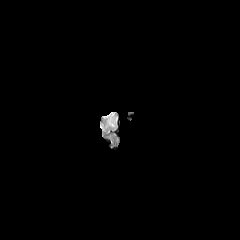
FLAIR MR image.
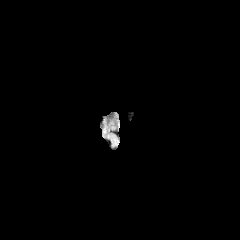
T1-weighted MRI.
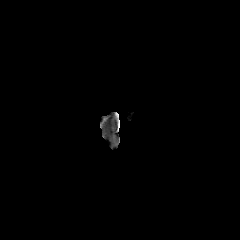
Same slice, post-contrast T1-weighted MRI.
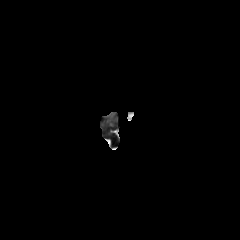
T2-weighted magnetic resonance.
Annotated regions:
- peritumoral edema: x1=104 y1=112 x2=116 y2=127